FLAIR MR.
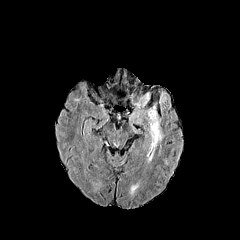
T1-weighted MR image.
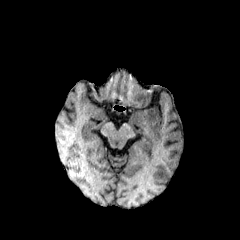
Post-contrast T1-weighted MR image.
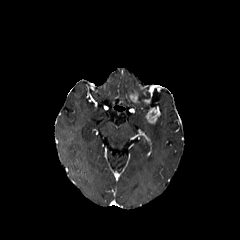
T2-weighted MR.
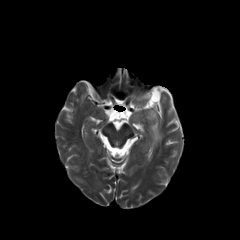
240x240 px; Axial plane
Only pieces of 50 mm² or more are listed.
- peritumoral edema: box=[134, 92, 149, 106]; box=[148, 120, 162, 147]
- enhancing tumor: box=[145, 107, 158, 123]; box=[130, 92, 139, 102]